FLAIR MR image.
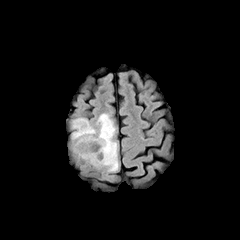
T1-weighted magnetic resonance.
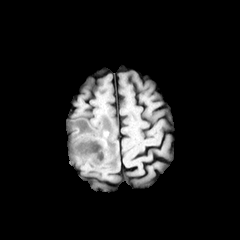
Post-contrast T1-weighted MR.
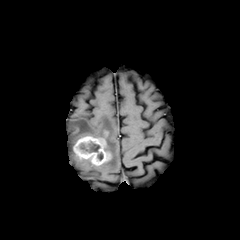
T2-weighted magnetic resonance.
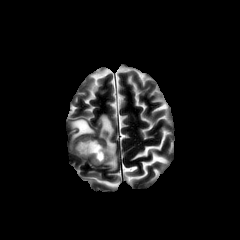
Axial view. Head.
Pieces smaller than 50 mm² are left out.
peritumoral_edema:
  - 71, 113, 118, 171
enhancing_tumor:
  - 73, 136, 111, 165
necrotic_tumor_core:
  - 80, 142, 100, 152